Brain | Slice 81/155 | Axial plane
FLAIR MR image.
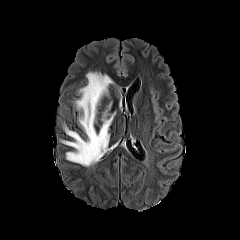
T1-weighted MR image.
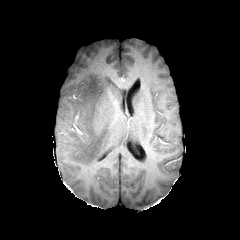
Post-contrast T1-weighted MR.
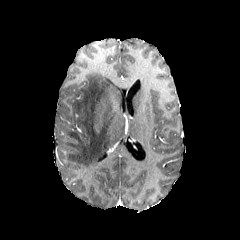
T2-weighted MR image.
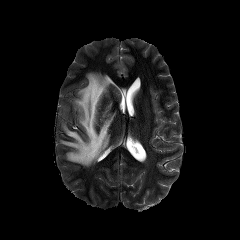
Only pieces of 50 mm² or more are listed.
peritumoral edema: (60,72,115,166)